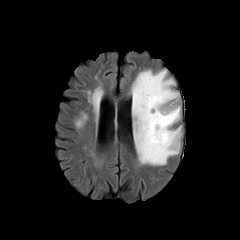
FLAIR MR.
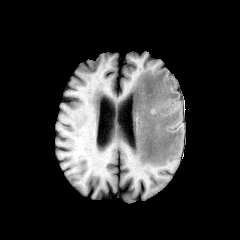
T1-weighted MR.
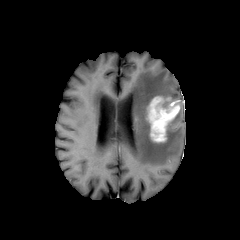
Post-contrast T1-weighted MR image of the same slice.
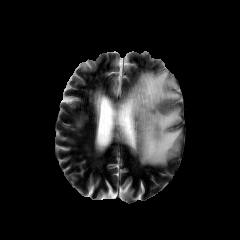
T2-weighted MR of the same slice.
Image size 240x240, Axial slice
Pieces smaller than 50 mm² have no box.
{
  "enhancing_tumor": [
    "[146,96,179,142]"
  ],
  "peritumoral_edema": [
    "[131,69,182,165]"
  ]
}